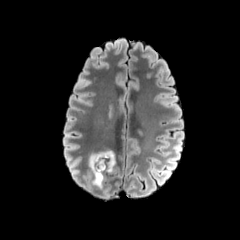
FLAIR magnetic resonance.
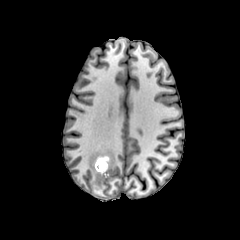
T1-weighted MRI of the same slice.
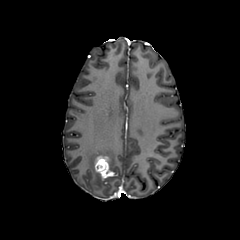
Same slice, post-contrast T1-weighted magnetic resonance.
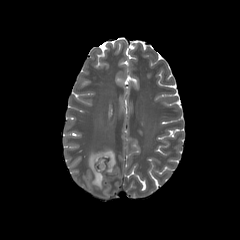
Same slice, T2-weighted MR image.
Brain; Axial view; 240x240 px
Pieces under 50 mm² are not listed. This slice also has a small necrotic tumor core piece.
peritumoral edema at x1=88, y1=150, x2=115, y2=188
enhancing tumor at x1=95, y1=156, x2=113, y2=180